FLAIR magnetic resonance.
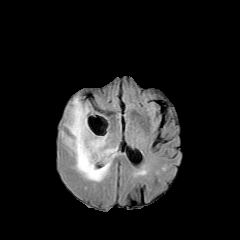
T1-weighted magnetic resonance.
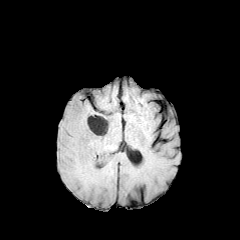
Post-contrast T1-weighted MRI.
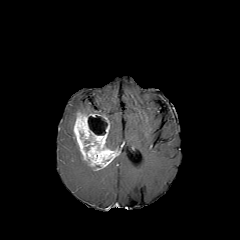
T2-weighted MR.
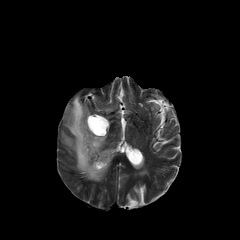
Head; Image size 240x240
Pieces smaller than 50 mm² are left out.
enhancing tumor: bounding box 73:110:118:170
peritumoral edema: bounding box 61:96:111:181, 106:137:117:149
necrotic tumor core: bounding box 88:115:107:135